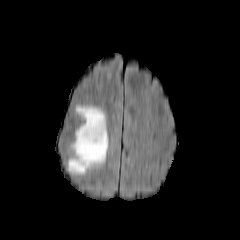
FLAIR MR image.
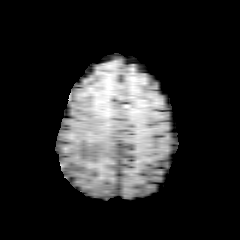
T1-weighted MR.
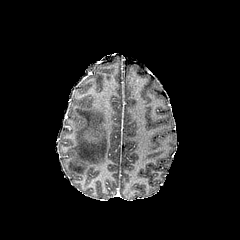
Same slice, post-contrast T1-weighted MRI.
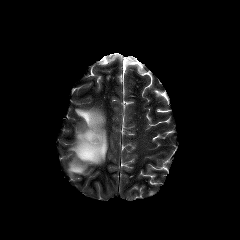
T2-weighted MR image.
Axial view; Head
{"peritumoral_edema": ["left=68, top=107, right=108, bottom=174"]}